FLAIR magnetic resonance.
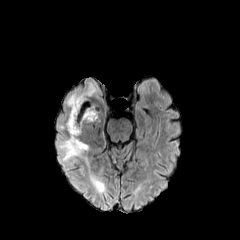
T1-weighted magnetic resonance.
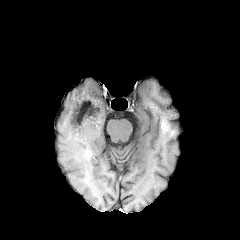
Post-contrast T1-weighted magnetic resonance.
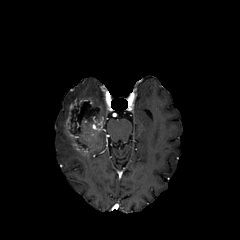
T2-weighted MRI.
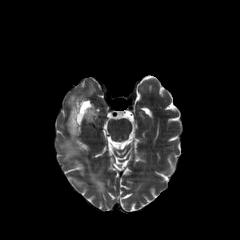
Brain, Image size 240x240, Axial slice
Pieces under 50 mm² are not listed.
Findings:
• peritumoral edema: left=66, top=93, right=82, bottom=106; left=58, top=138, right=81, bottom=160; left=89, top=170, right=106, bottom=193
• enhancing tumor: left=63, top=97, right=104, bottom=155
• necrotic tumor core: left=76, top=138, right=86, bottom=149; left=70, top=102, right=99, bottom=135